Brain, 240x240
FLAIR MR image.
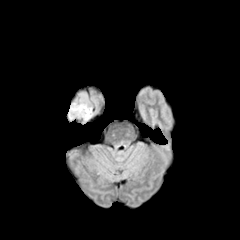
T1-weighted MR image.
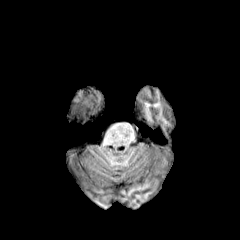
Post-contrast T1-weighted MR.
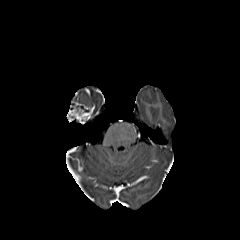
T2-weighted magnetic resonance.
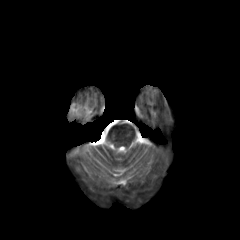
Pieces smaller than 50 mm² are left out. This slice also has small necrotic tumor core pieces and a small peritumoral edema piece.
Findings:
• enhancing tumor: [67, 102, 92, 123]